FLAIR MR image.
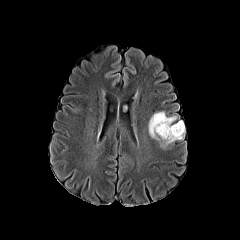
T1-weighted magnetic resonance.
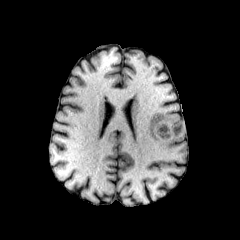
Post-contrast T1-weighted MR image.
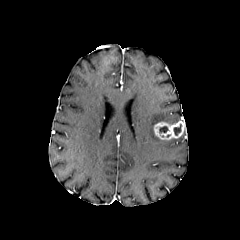
T2-weighted magnetic resonance.
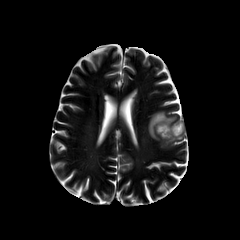
Brain. 240x240 px.
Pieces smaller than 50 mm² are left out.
The 2 largest necrotic tumor core regions are located at rect(174, 124, 181, 135); rect(159, 126, 167, 132). The peritumoral edema lies within rect(148, 111, 183, 148). The enhancing tumor appears at rect(153, 121, 185, 140).